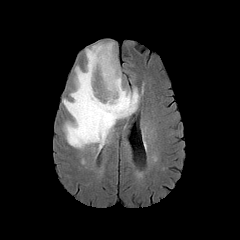
FLAIR magnetic resonance.
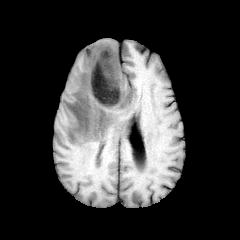
T1-weighted magnetic resonance of the same slice.
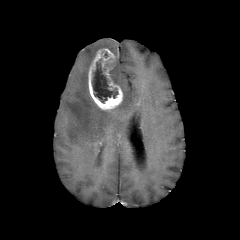
Post-contrast T1-weighted MRI of the same slice.
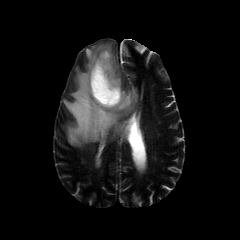
T2-weighted magnetic resonance.
Image size 240x240; Axial plane; Head
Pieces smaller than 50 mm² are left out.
{"enhancing_tumor": ["left=88, top=48, right=123, bottom=110"], "necrotic_tumor_core": ["left=92, top=62, right=117, bottom=102"], "peritumoral_edema": ["left=62, top=42, right=139, bottom=149"]}